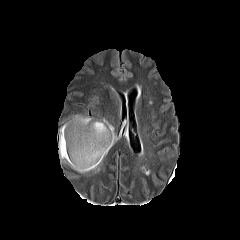
FLAIR MR image.
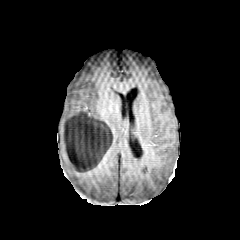
T1-weighted magnetic resonance of the same slice.
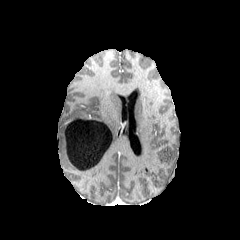
Post-contrast T1-weighted magnetic resonance.
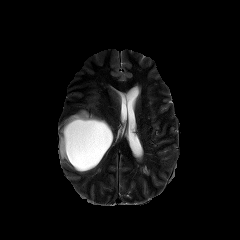
T2-weighted MR image.
Axial slice.
- necrotic tumor core: 63, 117, 112, 170
- peritumoral edema: 58, 111, 116, 173